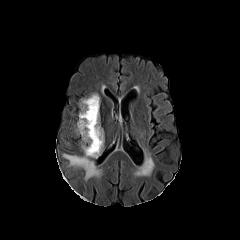
FLAIR magnetic resonance.
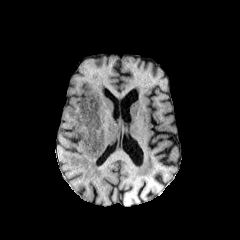
T1-weighted MR.
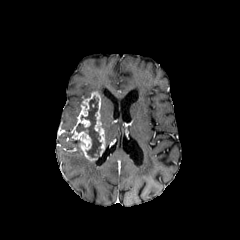
Post-contrast T1-weighted magnetic resonance of the same slice.
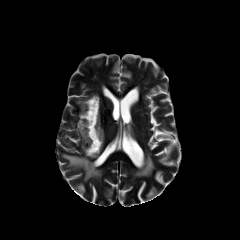
Same slice, T2-weighted MR image.
Brain. 240x240 px. Axial plane.
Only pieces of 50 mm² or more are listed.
necrotic tumor core at 80:96:101:157, 76:123:85:132
peritumoral edema at 62:153:101:180
enhancing tumor at 73:92:104:161